FLAIR magnetic resonance.
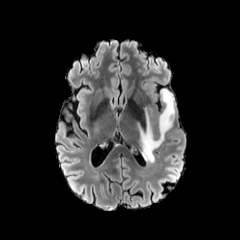
T1-weighted magnetic resonance.
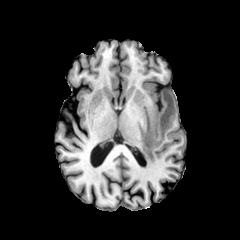
Post-contrast T1-weighted MRI.
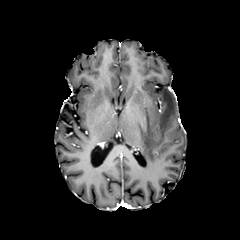
T2-weighted MR image.
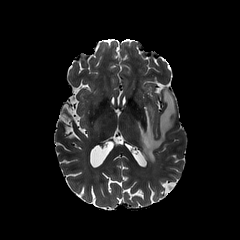
Axial view | Head
peritumoral edema = {"x1": 136, "y1": 89, "x2": 175, "y2": 164}